FLAIR magnetic resonance.
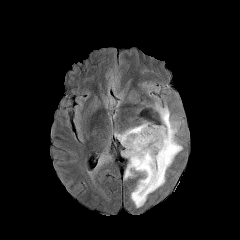
T1-weighted magnetic resonance.
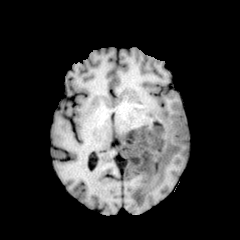
Post-contrast T1-weighted MRI.
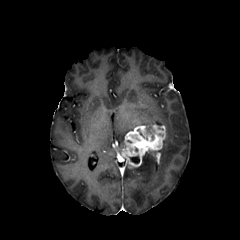
T2-weighted MRI.
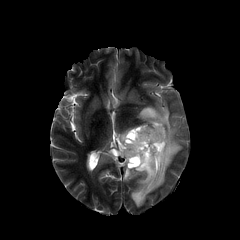
Head.
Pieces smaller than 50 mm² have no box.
<segmentation>
  <enhancing_tumor>120 125 165 168</enhancing_tumor>
  <peritumoral_edema>116 127 134 146, 99 154 110 165, 124 104 182 207</peritumoral_edema>
  <necrotic_tumor_core>130 156 139 163</necrotic_tumor_core>
</segmentation>